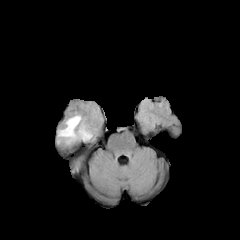
FLAIR MR image.
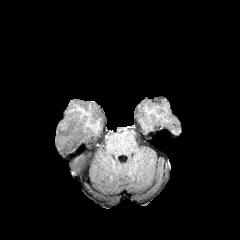
T1-weighted MR of the same slice.
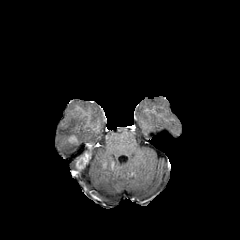
Post-contrast T1-weighted MRI.
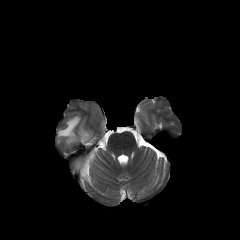
T2-weighted magnetic resonance.
Head
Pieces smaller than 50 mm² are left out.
peritumoral edema: <bbox>57, 115, 92, 144</bbox>
enhancing tumor: <bbox>76, 157, 87, 169</bbox>, <bbox>68, 135, 77, 142</bbox>